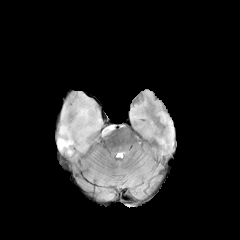
FLAIR MR image.
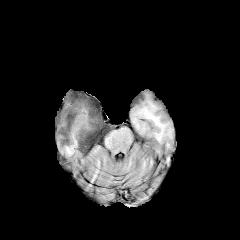
Same slice, T1-weighted magnetic resonance.
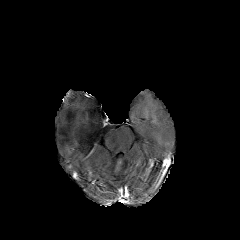
Same slice, post-contrast T1-weighted MR image.
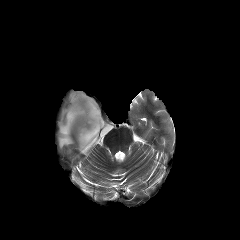
Same slice, T2-weighted MR image.
240x240. Head.
peritumoral edema at (left=57, top=92, right=114, bottom=155)